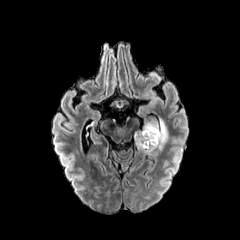
FLAIR MR image.
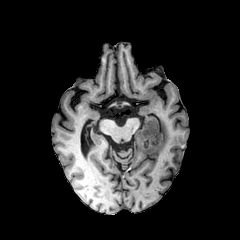
T1-weighted MRI of the same slice.
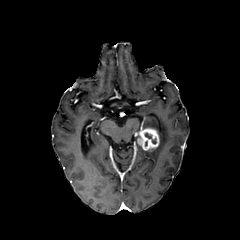
Same slice, post-contrast T1-weighted magnetic resonance.
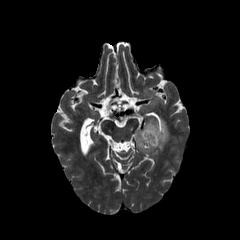
T2-weighted MRI of the same slice.
Axial plane; 240x240
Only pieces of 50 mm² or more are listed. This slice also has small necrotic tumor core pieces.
Findings:
- enhancing tumor: 134:127:159:151
- peritumoral edema: 136:118:168:154